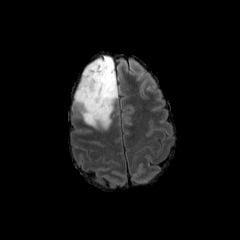
FLAIR MR.
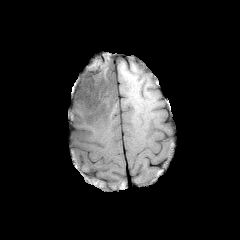
T1-weighted magnetic resonance of the same slice.
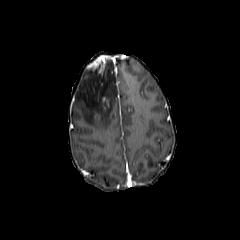
Post-contrast T1-weighted MR image.
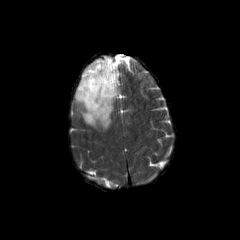
T2-weighted MR.
240x240
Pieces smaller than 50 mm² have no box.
{"enhancing_tumor": ["[87,55,110,74]"], "peritumoral_edema": ["[74,57,118,130]"]}